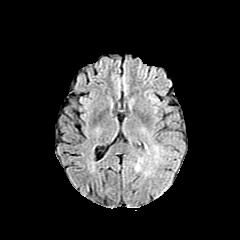
FLAIR MRI.
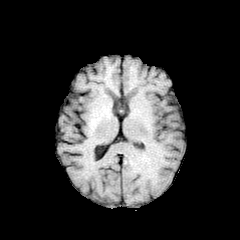
Same slice, T1-weighted MR.
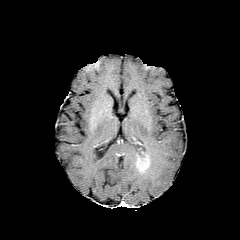
Post-contrast T1-weighted magnetic resonance of the same slice.
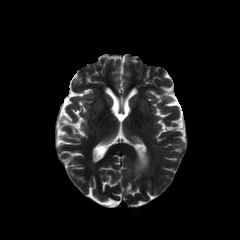
Same slice, T2-weighted magnetic resonance.
Head
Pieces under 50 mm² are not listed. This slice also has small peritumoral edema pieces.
<segmentation>
  <enhancing_tumor>{"x1": 137, "y1": 156, "x2": 149, "y2": 171}</enhancing_tumor>
</segmentation>